FLAIR magnetic resonance.
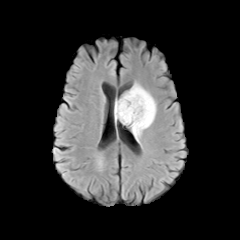
T1-weighted magnetic resonance.
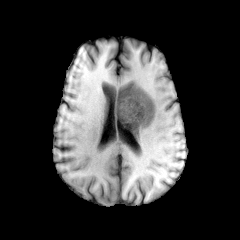
Post-contrast T1-weighted MR image.
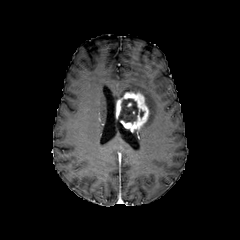
T2-weighted MR image.
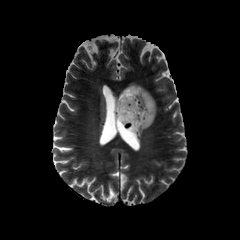
Axial plane
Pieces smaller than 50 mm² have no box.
enhancing_tumor:
  - box=[115, 92, 149, 132]
peritumoral_edema:
  - box=[127, 84, 156, 141]
necrotic_tumor_core:
  - box=[119, 99, 138, 122]